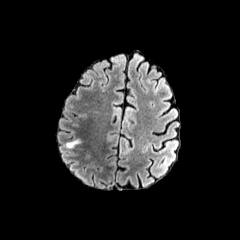
FLAIR magnetic resonance.
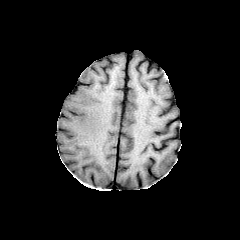
T1-weighted MRI of the same slice.
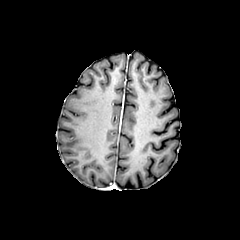
Post-contrast T1-weighted MR image.
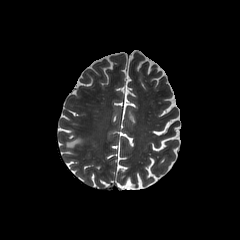
T2-weighted magnetic resonance.
Axial view
peritumoral_edema:
  - bbox=[66, 139, 81, 148]